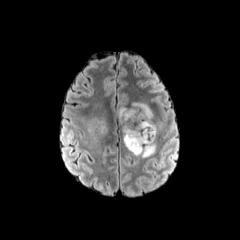
FLAIR MR image.
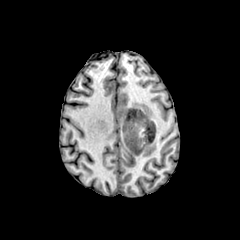
T1-weighted MRI of the same slice.
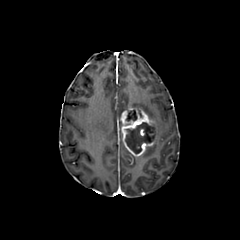
Post-contrast T1-weighted MRI.
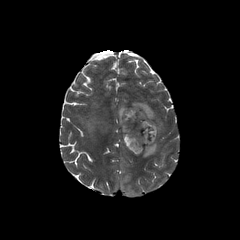
T2-weighted MRI.
Axial plane.
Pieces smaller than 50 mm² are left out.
The 2 largest necrotic tumor core regions are bounded by x1=126, y1=110, x2=137, y2=121; x1=125, y1=122, x2=153, y2=153. The 4 largest peritumoral edema regions are located at x1=100, y1=122, x2=107, y2=133; x1=141, y1=142, x2=155, y2=157; x1=131, y1=102, x2=153, y2=119; x1=118, y1=106, x2=127, y2=125. The largest enhancing tumor region lies within x1=120, y1=107, x2=155, y2=156.